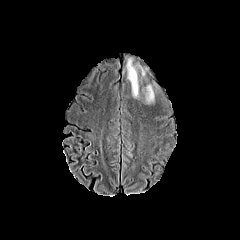
FLAIR MR.
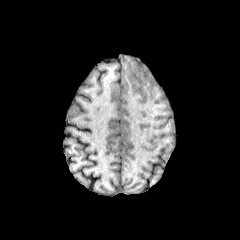
T1-weighted MR of the same slice.
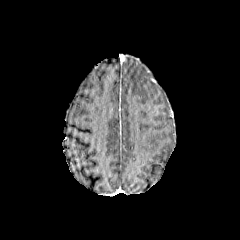
Post-contrast T1-weighted MRI.
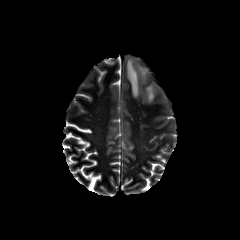
T2-weighted MR image of the same slice.
Head
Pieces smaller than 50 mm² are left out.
Segmented structures:
* peritumoral edema: 142, 84, 155, 104; 125, 55, 145, 98